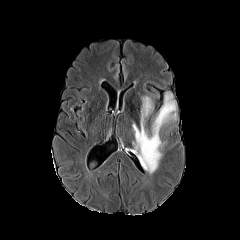
FLAIR MR.
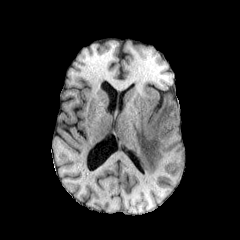
T1-weighted MR of the same slice.
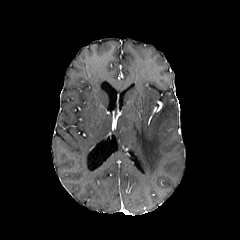
Post-contrast T1-weighted MR image.
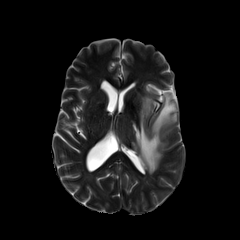
T2-weighted magnetic resonance of the same slice.
Head
peritumoral edema — 132,93,176,173